Image size 240x240; Slice 98 of 155; Head
FLAIR MRI.
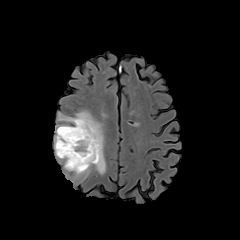
T1-weighted magnetic resonance.
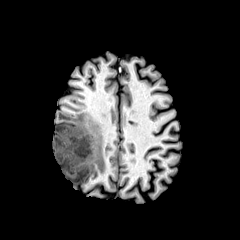
Post-contrast T1-weighted MR image.
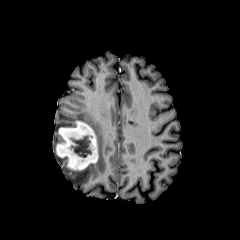
T2-weighted MR.
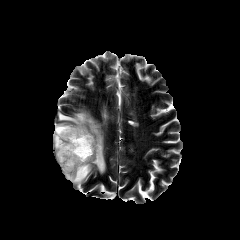
The enhancing tumor is bounded by [x1=56, y1=121, x2=98, y2=170]. The peritumoral edema lies within [x1=54, y1=110, x2=106, y2=183]. The necrotic tumor core appears at [x1=71, y1=136, x2=91, y2=157].